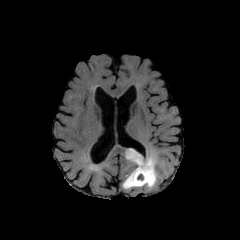
FLAIR magnetic resonance.
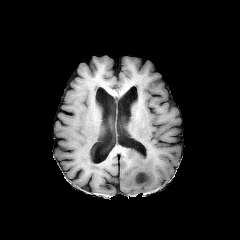
T1-weighted MR.
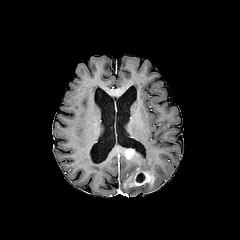
Post-contrast T1-weighted MRI.
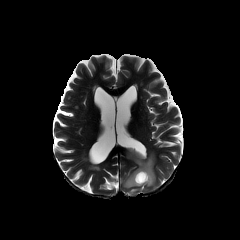
T2-weighted MR image.
Image size 240x240. Head.
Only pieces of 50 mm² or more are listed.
enhancing tumor: (left=125, top=149, right=138, bottom=159), (left=124, top=168, right=154, bottom=186) | peritumoral edema: (left=122, top=145, right=158, bottom=189) | necrotic tumor core: (left=136, top=173, right=144, bottom=182)